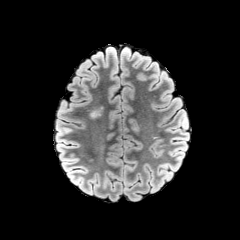
FLAIR MR.
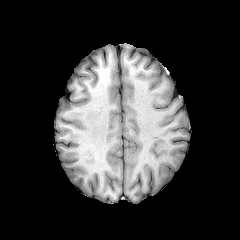
T1-weighted MR image.
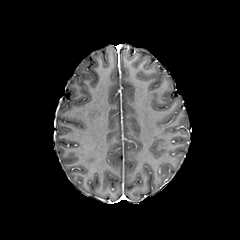
Post-contrast T1-weighted MR.
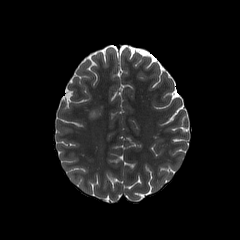
Same slice, T2-weighted MR image.
Axial slice; Image size 240x240; Brain
<segmentation>
  <peritumoral_edema>[89,108,101,118]</peritumoral_edema>
</segmentation>